Brain. Axial plane. Slice 56/155.
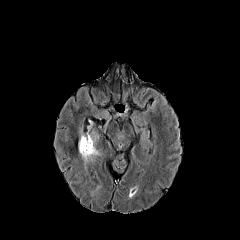
FLAIR MR image.
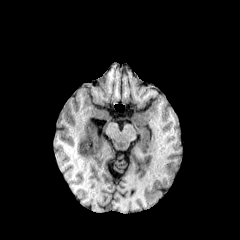
T1-weighted magnetic resonance of the same slice.
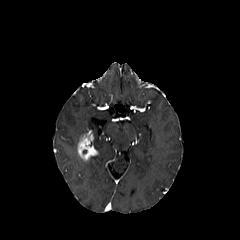
Post-contrast T1-weighted magnetic resonance.
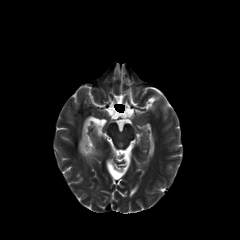
T2-weighted MRI.
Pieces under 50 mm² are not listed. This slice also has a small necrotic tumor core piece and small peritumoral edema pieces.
enhancing tumor at bbox=[77, 133, 98, 161]